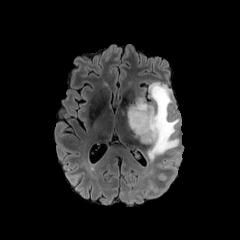
FLAIR MR image.
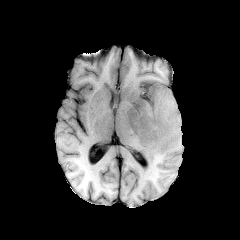
Same slice, T1-weighted magnetic resonance.
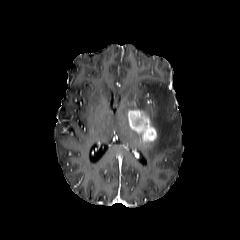
Post-contrast T1-weighted MR image.
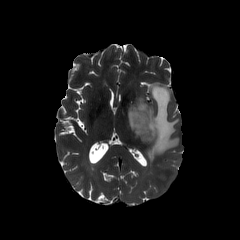
T2-weighted MR image.
Axial plane | Brain
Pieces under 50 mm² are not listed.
peritumoral edema at (left=128, top=82, right=179, bottom=160)
enhancing tumor at (left=128, top=108, right=158, bottom=143)